Slice 66/155. Image width 240 mm, 1.00 mm slice spacing. Axial view.
FLAIR MR image.
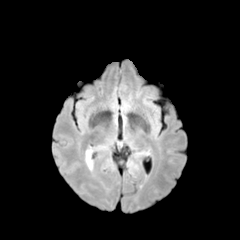
T1-weighted MR image.
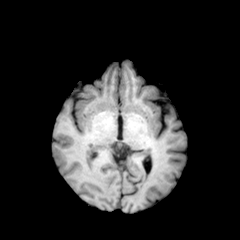
Post-contrast T1-weighted magnetic resonance.
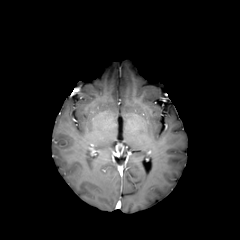
T2-weighted MRI.
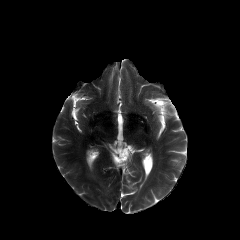
peritumoral edema: [86, 150, 92, 169]